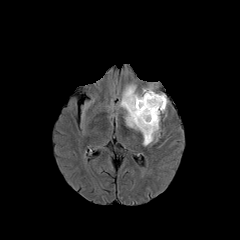
FLAIR magnetic resonance.
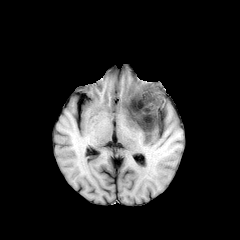
Same slice, T1-weighted MRI.
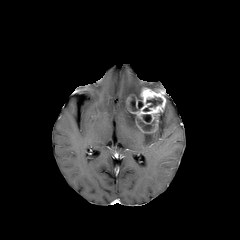
Same slice, post-contrast T1-weighted magnetic resonance.
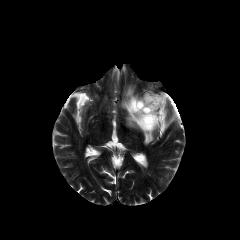
Same slice, T2-weighted magnetic resonance.
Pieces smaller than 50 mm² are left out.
Segmented structures:
* peritumoral edema: 120:84:160:145
* enhancing tumor: 126:88:166:133
* necrotic tumor core: 143:98:162:111, 130:97:137:111, 139:120:152:129, 142:115:151:122